Axial slice. 240x240 px. Brain.
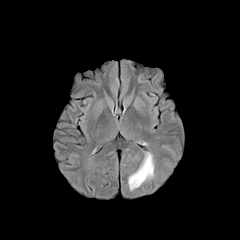
FLAIR MR image.
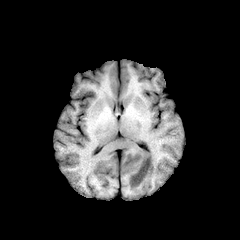
T1-weighted MRI of the same slice.
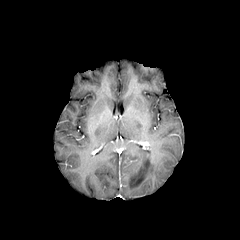
Post-contrast T1-weighted magnetic resonance.
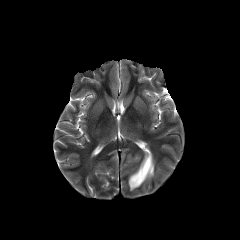
T2-weighted magnetic resonance of the same slice.
The peritumoral edema is at left=128, top=152, right=154, bottom=190.